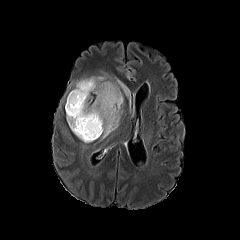
FLAIR magnetic resonance.
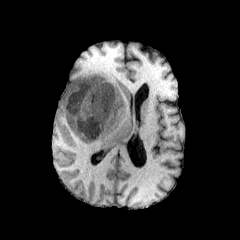
T1-weighted magnetic resonance of the same slice.
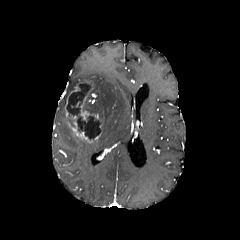
Same slice, post-contrast T1-weighted MRI.
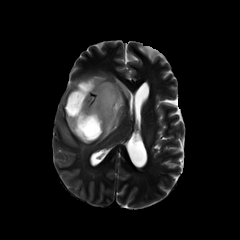
T2-weighted MR of the same slice.
Image size 240x240, Axial plane
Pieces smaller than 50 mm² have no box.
The largest enhancing tumor region is at 65 86 102 142. The necrotic tumor core appears at 66 82 100 139. The largest peritumoral edema region is at 80 74 130 140.